Image width 240 mm, 1.00 mm slice spacing, Slice index 83
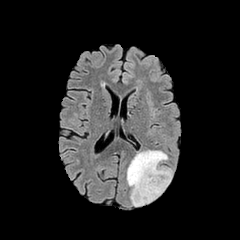
FLAIR MR image.
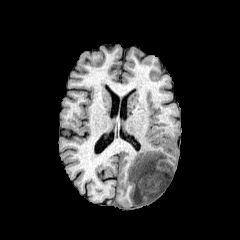
Same slice, T1-weighted MRI.
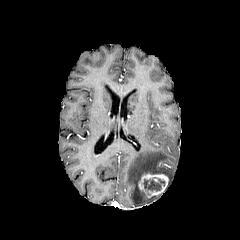
Post-contrast T1-weighted MR.
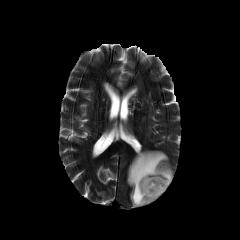
T2-weighted MR image of the same slice.
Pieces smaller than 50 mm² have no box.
The necrotic tumor core is at 143,179,164,191. The largest enhancing tumor region lies within 138,173,168,197. The peritumoral edema is at 127,150,172,206.